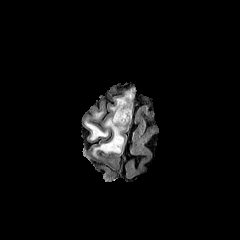
FLAIR MR image.
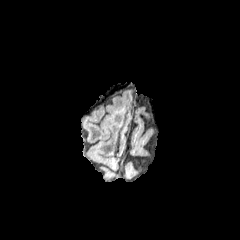
T1-weighted MRI of the same slice.
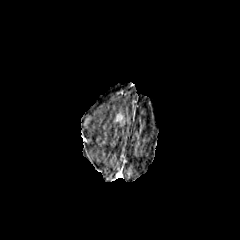
Post-contrast T1-weighted MR.
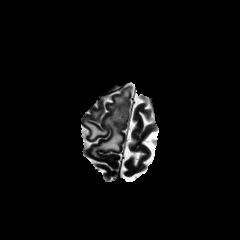
T2-weighted MR image.
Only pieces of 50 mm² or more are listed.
peritumoral edema — 86:122:107:139, 93:93:131:157
enhancing tumor — 114:111:128:125